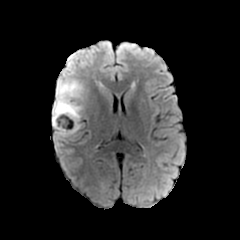
FLAIR MR.
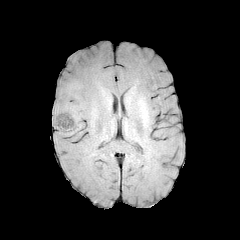
T1-weighted MR of the same slice.
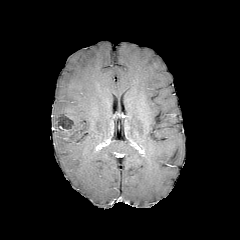
Same slice, post-contrast T1-weighted MRI.
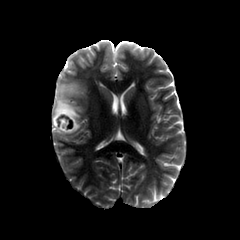
Same slice, T2-weighted magnetic resonance.
Head
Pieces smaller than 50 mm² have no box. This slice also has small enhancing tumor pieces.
peritumoral edema: (left=51, top=74, right=86, bottom=137) | necrotic tumor core: (left=57, top=113, right=75, bottom=131)